Slice index 88
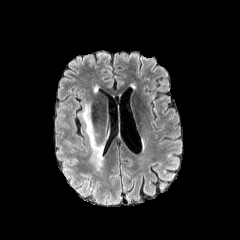
FLAIR MR image.
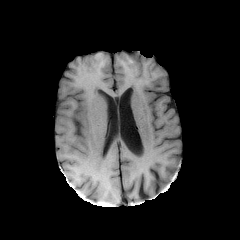
T1-weighted MRI.
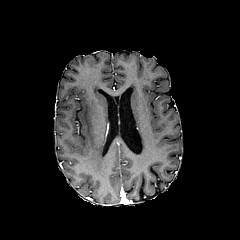
Post-contrast T1-weighted magnetic resonance of the same slice.
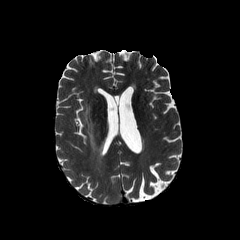
T2-weighted magnetic resonance of the same slice.
peritumoral edema at x1=82, y1=103, x2=108, y2=169